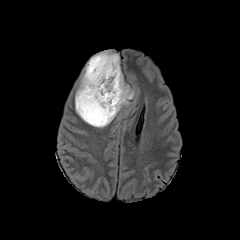
FLAIR MR.
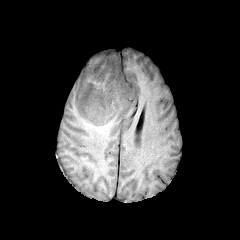
Same slice, T1-weighted magnetic resonance.
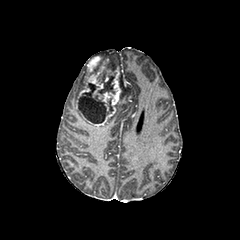
Post-contrast T1-weighted MR of the same slice.
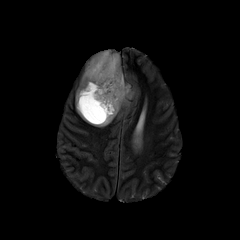
T2-weighted MR.
Axial view, Brain
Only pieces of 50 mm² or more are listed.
necrotic tumor core — bbox(98, 76, 115, 95); bbox(78, 83, 113, 123)
peritumoral edema — bbox(75, 50, 134, 127)
enhancing tumor — bbox(76, 61, 121, 125); bbox(87, 56, 101, 74)